Axial view; Head; Slice 58/155
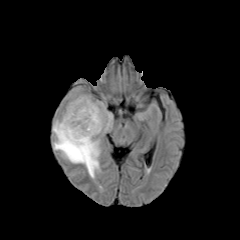
FLAIR MR.
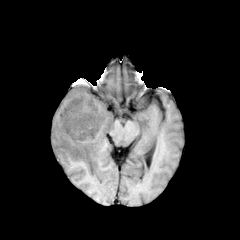
T1-weighted magnetic resonance.
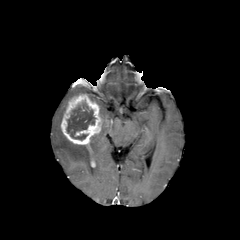
Post-contrast T1-weighted MR image of the same slice.
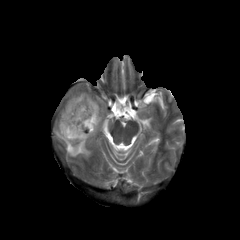
T2-weighted MRI of the same slice.
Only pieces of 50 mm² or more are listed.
<segmentation>
  <peritumoral_edema>[53,111,100,177], [95,101,113,120], [100,121,112,133]</peritumoral_edema>
  <necrotic_tumor_core>[67,103,95,139]</necrotic_tumor_core>
  <enhancing_tumor>[61,94,111,153]</enhancing_tumor>
</segmentation>